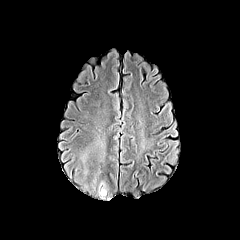
FLAIR magnetic resonance.
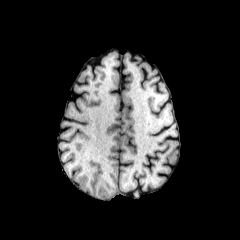
T1-weighted MRI.
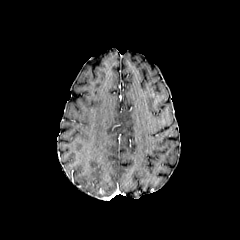
Same slice, post-contrast T1-weighted MR image.
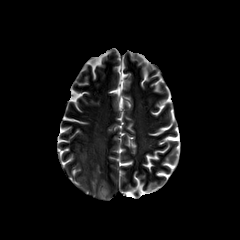
T2-weighted magnetic resonance.
Axial plane
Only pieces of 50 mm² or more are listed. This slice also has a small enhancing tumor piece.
- peritumoral edema: (x1=98, y1=182, x2=107, y2=196)